Slice 71/155, Brain, Image width 240 mm, 1.00 mm slice spacing
FLAIR magnetic resonance.
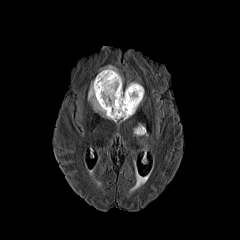
T1-weighted MRI.
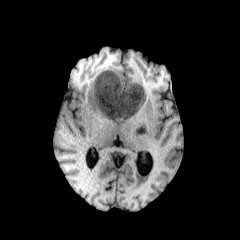
Post-contrast T1-weighted MRI.
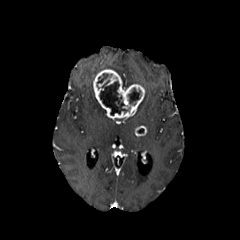
T2-weighted magnetic resonance.
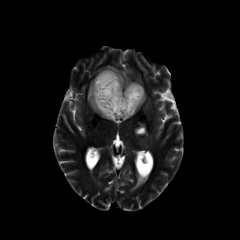
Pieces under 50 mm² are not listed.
peritumoral edema: bounding box (left=88, top=81, right=111, bottom=119), (left=99, top=65, right=123, bottom=82)
necrotic tumor core: bounding box (left=128, top=88, right=140, bottom=103), (left=100, top=80, right=128, bottom=115), (left=97, top=73, right=108, bottom=86)
enhancing tumor: bounding box (left=134, top=125, right=146, bottom=136), (left=93, top=69, right=144, bottom=119)